Brain, Axial view
FLAIR magnetic resonance.
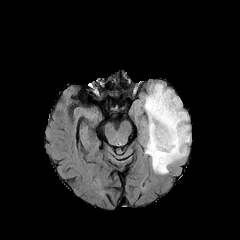
T1-weighted MR image.
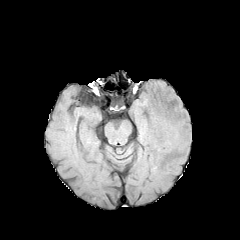
Post-contrast T1-weighted MRI.
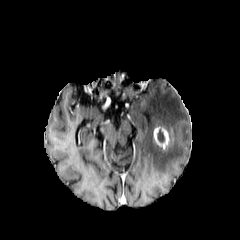
T2-weighted MR.
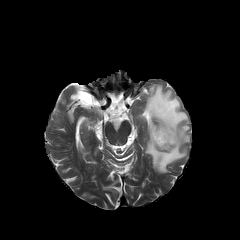
necrotic tumor core — [158,129,164,142]
enhancing tumor — [152,126,170,149]
peritumoral edema — [143,83,190,173]